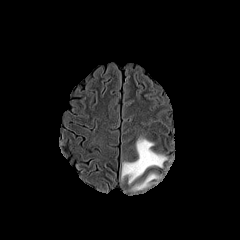
FLAIR MR.
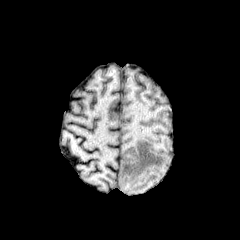
T1-weighted magnetic resonance.
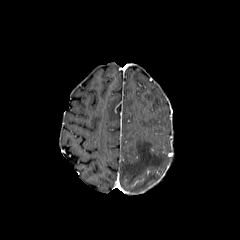
Post-contrast T1-weighted MR image.
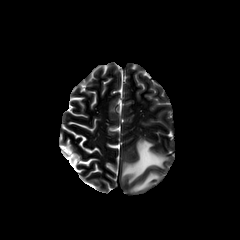
T2-weighted MR.
Head. Axial view.
peritumoral edema at box(121, 137, 167, 184); box(131, 173, 159, 191)